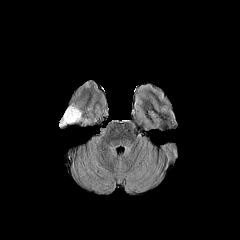
FLAIR MR.
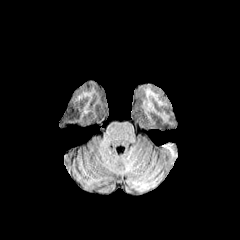
Same slice, T1-weighted MR image.
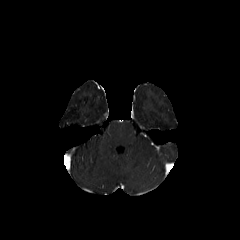
Post-contrast T1-weighted MR image of the same slice.
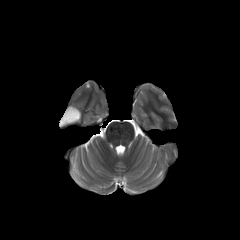
T2-weighted MR.
Axial plane. Brain.
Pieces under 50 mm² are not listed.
The largest peritumoral edema region is at x1=62, y1=106, x2=81, y2=124.